Head
FLAIR MR image.
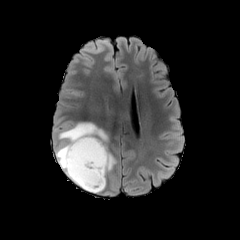
T1-weighted MR.
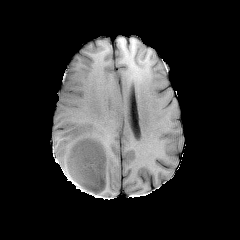
Post-contrast T1-weighted MRI.
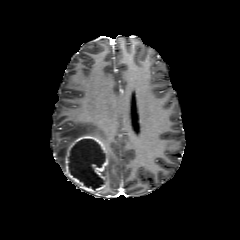
T2-weighted MR image.
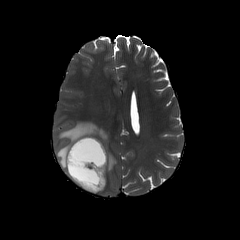
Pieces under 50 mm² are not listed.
<segmentation>
  <enhancing_tumor>(x1=62, y1=135, x2=108, y2=193)</enhancing_tumor>
  <peritumoral_edema>(x1=104, y1=145, x2=116, y2=181), (x1=55, y1=122, x2=107, y2=169)</peritumoral_edema>
  <necrotic_tumor_core>(x1=68, y1=139, x2=105, y2=187)</necrotic_tumor_core>
</segmentation>